FLAIR MRI.
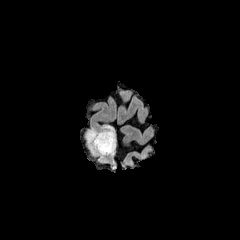
T1-weighted magnetic resonance.
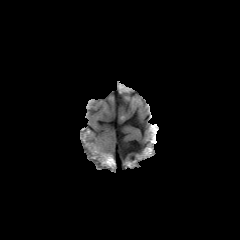
Post-contrast T1-weighted MR image.
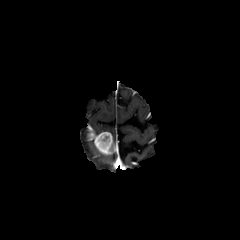
T2-weighted magnetic resonance.
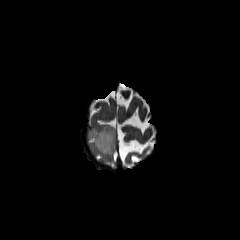
Axial view | Brain
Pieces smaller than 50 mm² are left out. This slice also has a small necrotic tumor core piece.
enhancing tumor — left=87, top=132, right=114, bottom=154
peritumoral edema — left=85, top=125, right=115, bottom=158